FLAIR MR.
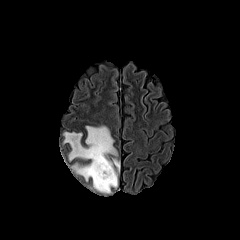
T1-weighted MR.
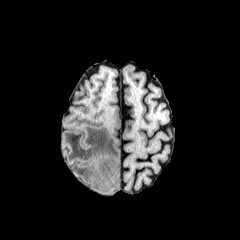
Post-contrast T1-weighted magnetic resonance.
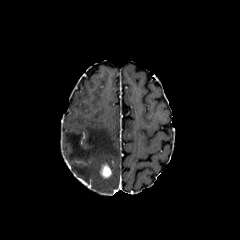
T2-weighted magnetic resonance.
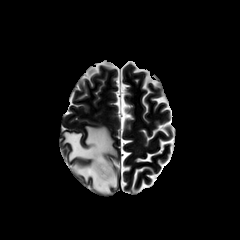
Head | 240x240 px
enhancing tumor = (x1=100, y1=163, x2=111, y2=178)
peritumoral edema = (x1=64, y1=126, x2=119, y2=193)